240x240 px. Image width 240 mm.
FLAIR MRI.
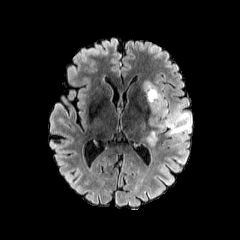
T1-weighted MR.
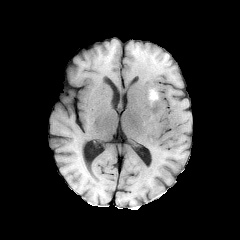
Post-contrast T1-weighted MR image.
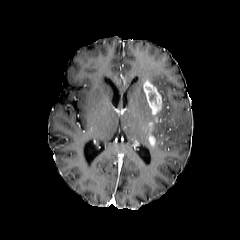
T2-weighted MR.
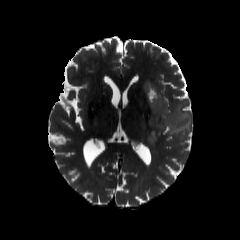
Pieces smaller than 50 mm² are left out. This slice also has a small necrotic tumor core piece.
Segmented structures:
- enhancing tumor: [x1=143, y1=80, x2=162, y2=145]
- peritumoral edema: [x1=156, y1=94, x2=191, y2=144]